FLAIR MR image.
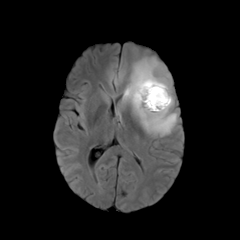
T1-weighted magnetic resonance.
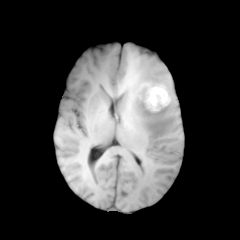
Post-contrast T1-weighted MR.
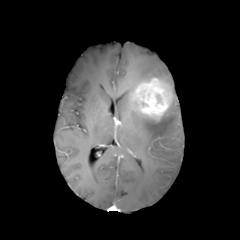
T2-weighted MR image.
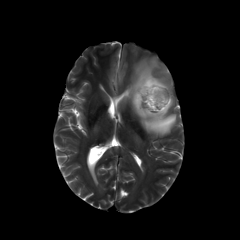
Brain.
The enhancing tumor is located at 132:78:171:120. The peritumoral edema is located at 123:58:177:136.